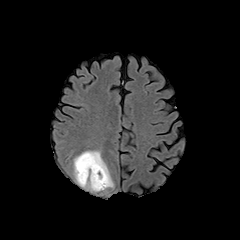
FLAIR magnetic resonance.
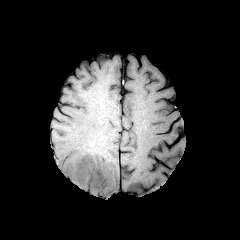
Same slice, T1-weighted MR.
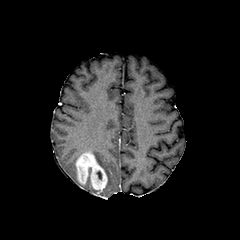
Post-contrast T1-weighted MRI of the same slice.
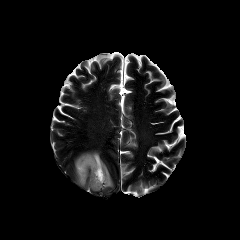
T2-weighted magnetic resonance of the same slice.
240x240 px, Axial view
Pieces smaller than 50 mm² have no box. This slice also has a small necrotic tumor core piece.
enhancing_tumor:
  - <box>75,152,107,190</box>
peritumoral_edema:
  - <box>73,151,113,192</box>